FLAIR MRI.
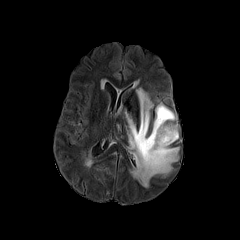
T1-weighted MR.
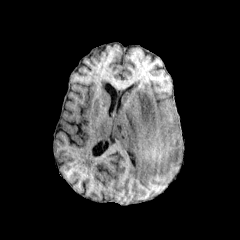
Post-contrast T1-weighted MR.
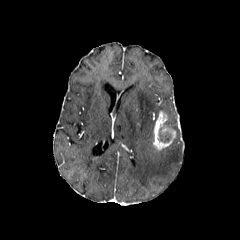
T2-weighted magnetic resonance.
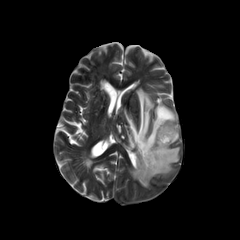
Axial slice | Head | 240x240 px
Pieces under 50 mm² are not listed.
enhancing tumor: bounding box l=153, t=111, r=175, b=150
peritumoral edema: bounding box l=125, t=88, r=179, b=187; l=173, t=124, r=178, b=141
necrotic tumor core: bounding box l=158, t=127, r=171, b=142; l=164, t=117, r=177, b=128